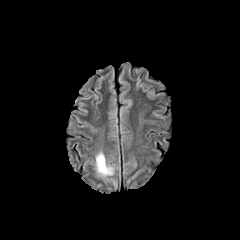
FLAIR MRI.
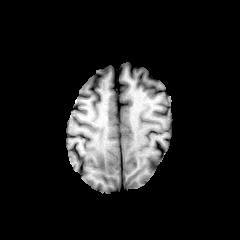
T1-weighted MR image.
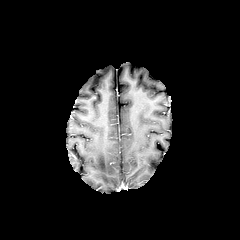
Post-contrast T1-weighted MR image.
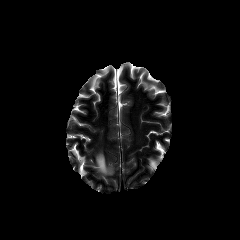
Same slice, T2-weighted MR.
Head, Axial view, Image size 240x240
The peritumoral edema is located at left=96, top=153, right=113, bottom=175.